Image size 240x240, Slice 108/155, Image covers 240 mm x 240 mm
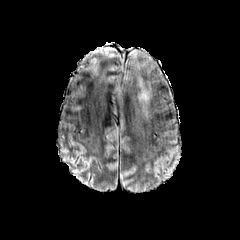
FLAIR MR image.
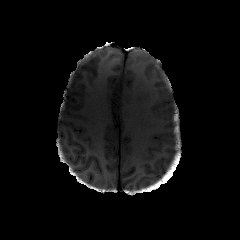
T1-weighted magnetic resonance.
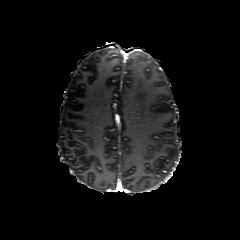
Post-contrast T1-weighted magnetic resonance of the same slice.
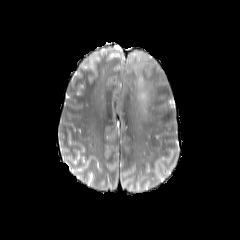
T2-weighted MR image.
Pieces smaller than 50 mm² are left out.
Annotated regions:
• peritumoral edema: rect(137, 77, 151, 116)